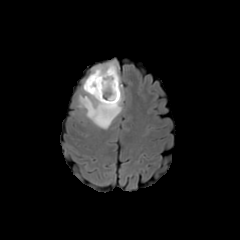
FLAIR MR.
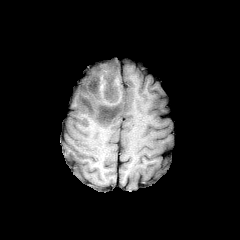
T1-weighted magnetic resonance of the same slice.
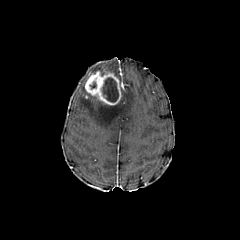
Same slice, post-contrast T1-weighted MRI.
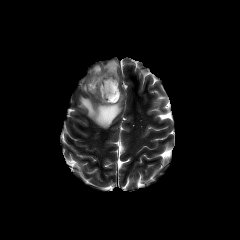
T2-weighted MR.
Axial slice.
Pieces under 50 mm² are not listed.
necrotic_tumor_core:
  - (102, 77, 118, 102)
enhancing_tumor:
  - (85, 69, 121, 105)
peritumoral_edema:
  - (78, 79, 124, 129)
  - (92, 60, 119, 80)